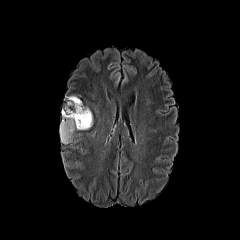
FLAIR magnetic resonance.
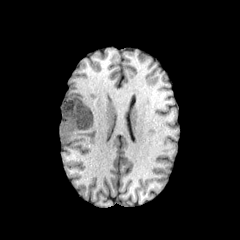
T1-weighted MR.
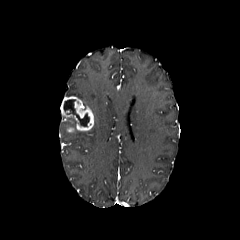
Same slice, post-contrast T1-weighted MR.
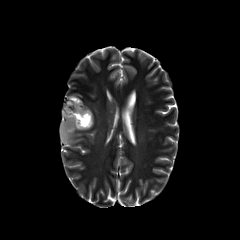
Same slice, T2-weighted magnetic resonance.
Axial slice, Brain, Image size 240x240
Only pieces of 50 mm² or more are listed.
<segmentation>
  <enhancing_tumor>(61, 96, 93, 131)</enhancing_tumor>
  <peritumoral_edema>(60, 117, 76, 143)</peritumoral_edema>
  <necrotic_tumor_core>(64, 99, 89, 126)</necrotic_tumor_core>
</segmentation>